FLAIR MR.
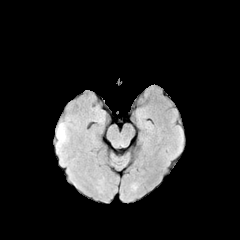
T1-weighted MR image.
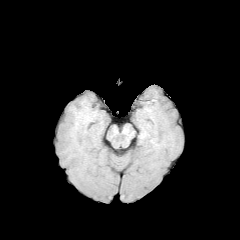
Post-contrast T1-weighted MR image.
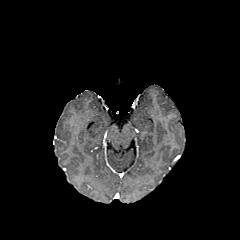
T2-weighted MR.
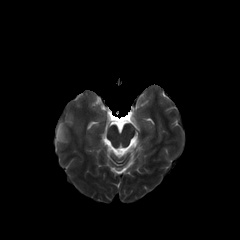
Image size 240x240, Brain
peritumoral edema: l=56, t=116, r=78, b=153